FLAIR magnetic resonance.
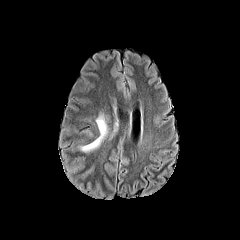
T1-weighted MRI.
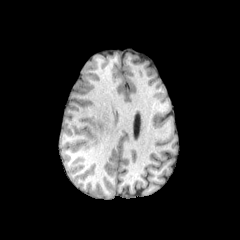
Post-contrast T1-weighted magnetic resonance.
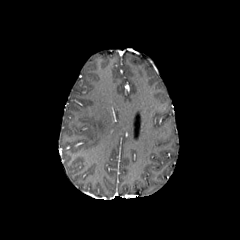
T2-weighted MRI.
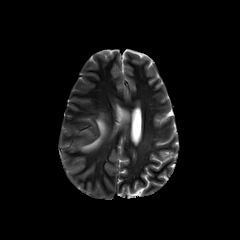
Brain, Axial slice
peritumoral edema = (79,110,111,151), (107,113,117,139)